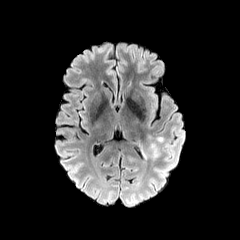
FLAIR MR image.
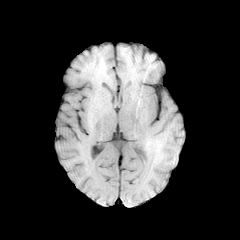
T1-weighted MR image.
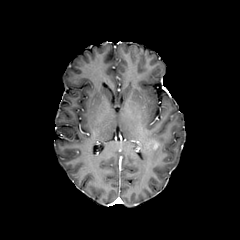
Post-contrast T1-weighted MR image.
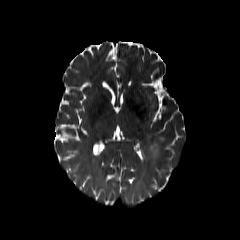
T2-weighted MRI of the same slice.
Axial view. Brain.
2 peritumoral edema regions are bounded by box(144, 147, 161, 158); box(147, 136, 163, 143). The enhancing tumor is at box(148, 141, 158, 150).